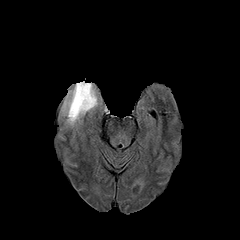
FLAIR MR image.
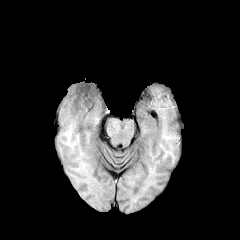
T1-weighted MR image.
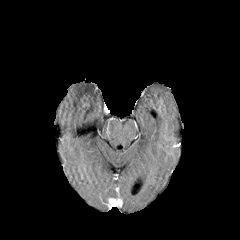
Post-contrast T1-weighted MR.
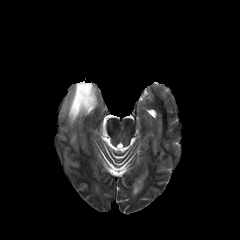
T2-weighted MR image.
Head, Axial slice, 240x240 px
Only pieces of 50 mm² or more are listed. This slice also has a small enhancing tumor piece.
Annotated regions:
* peritumoral edema: [61, 81, 98, 126]